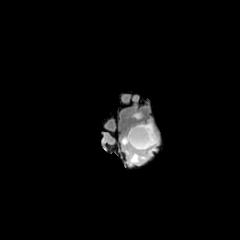
FLAIR MR.
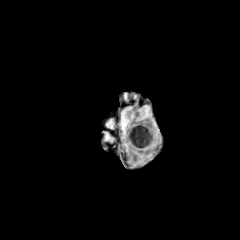
T1-weighted MR.
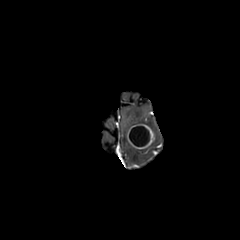
Same slice, post-contrast T1-weighted magnetic resonance.
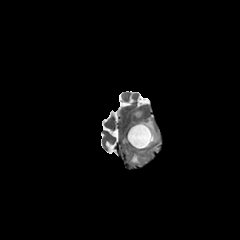
T2-weighted magnetic resonance.
Image size 240x240. Brain.
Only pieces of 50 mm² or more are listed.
{"peritumoral_edema": ["121:120:157:163"], "enhancing_tumor": ["127:123:155:149"], "necrotic_tumor_core": ["129:126:149:146"]}